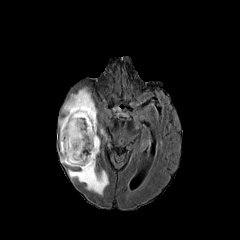
FLAIR MRI.
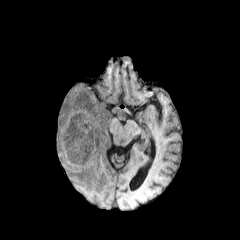
T1-weighted magnetic resonance.
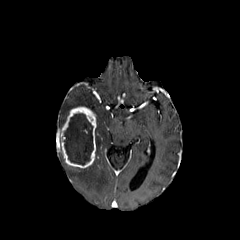
Post-contrast T1-weighted MR image.
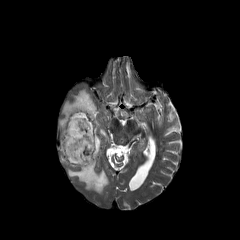
T2-weighted magnetic resonance of the same slice.
Axial view. Image size 240x240.
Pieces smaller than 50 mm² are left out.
necrotic tumor core: bounding box region(63, 113, 93, 165)
peritumoral edema: bounding box region(59, 89, 100, 155); region(68, 158, 108, 194); region(99, 128, 107, 140)
enhancing tumor: bounding box region(60, 106, 96, 168)